Axial plane
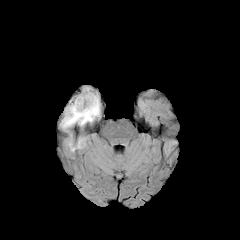
FLAIR MR.
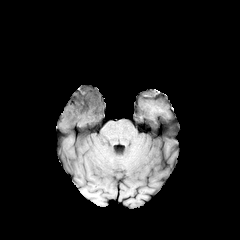
T1-weighted MR.
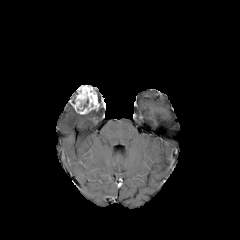
Post-contrast T1-weighted MR image of the same slice.
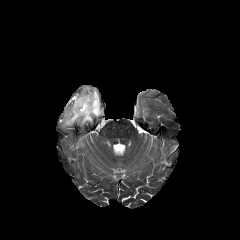
T2-weighted magnetic resonance of the same slice.
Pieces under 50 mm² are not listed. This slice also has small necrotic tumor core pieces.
peritumoral edema: 76,138,83,147; 61,105,100,128
enhancing tumor: 69,85,100,114